FLAIR MRI.
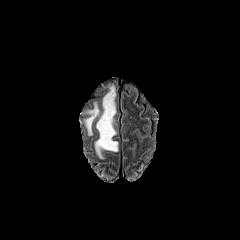
T1-weighted MRI.
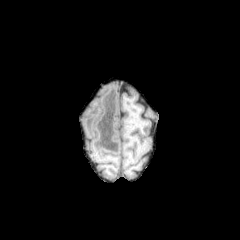
Post-contrast T1-weighted MRI.
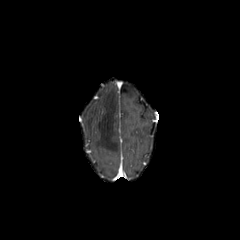
T2-weighted MR.
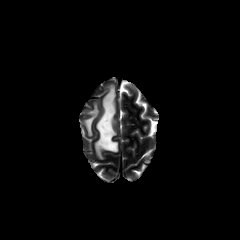
Brain. Axial view.
2 peritumoral edema regions are bounded by 95, 85, 118, 158; 84, 103, 99, 135.